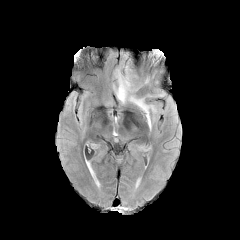
FLAIR MRI.
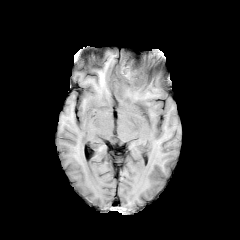
T1-weighted MR image.
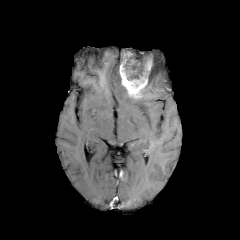
Same slice, post-contrast T1-weighted magnetic resonance.
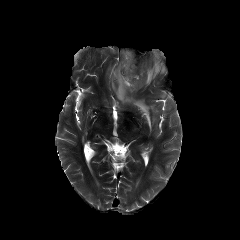
Same slice, T2-weighted MR.
Head.
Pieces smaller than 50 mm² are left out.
enhancing tumor: bounding box region(119, 51, 153, 98)
peritumoral edema: bounding box region(113, 58, 166, 129)
necrotic tumor core: bounding box region(124, 53, 149, 79)